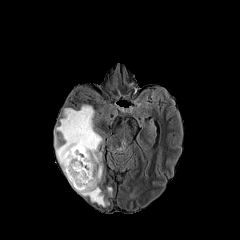
FLAIR MRI.
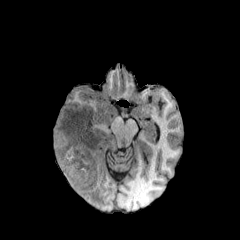
T1-weighted MR.
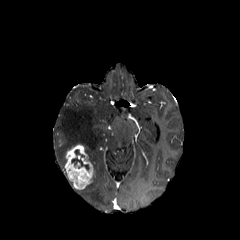
Post-contrast T1-weighted MRI.
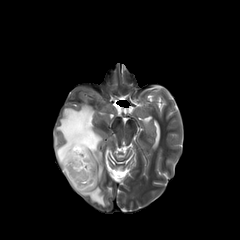
T2-weighted MR image.
Axial slice; 240x240
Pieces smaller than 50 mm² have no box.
Annotated regions:
• peritumoral edema: 54 105 108 206
• enhancing tumor: 64 144 93 189
• necrotic tumor core: 71 157 89 170